Slice 86 of 155; Image width 240 mm, 1.00 mm slice spacing; Brain
FLAIR magnetic resonance.
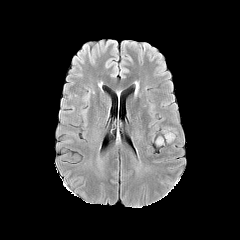
T1-weighted MR.
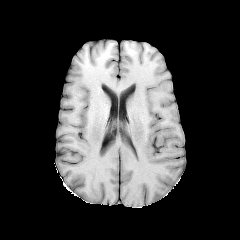
Post-contrast T1-weighted MR image.
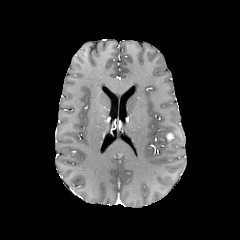
T2-weighted MR.
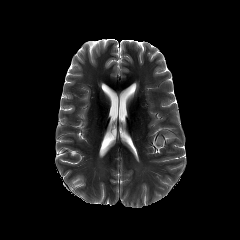
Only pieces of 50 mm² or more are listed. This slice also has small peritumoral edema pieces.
enhancing tumor: bounding box (x1=166, y1=132, x2=173, y2=140)